Slice 97 of 155
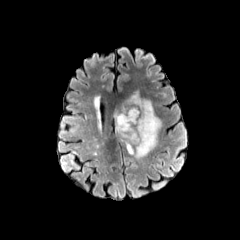
FLAIR MR.
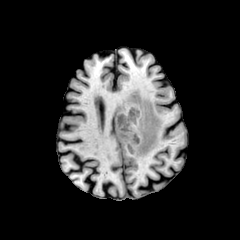
T1-weighted magnetic resonance.
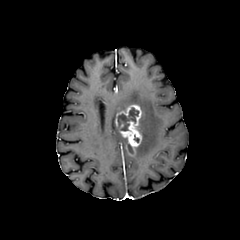
Post-contrast T1-weighted MR image.
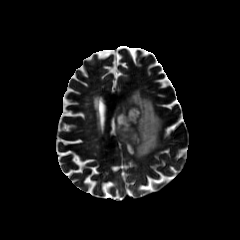
T2-weighted MRI.
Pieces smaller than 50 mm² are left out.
necrotic tumor core: bounding box <box>118,108,138,130</box>
enhancing tumor: bounding box <box>115,104,141,155</box>
peritumoral edema: bounding box <box>115,89,161,157</box>, <box>116,128,127,144</box>